Brain | Axial view
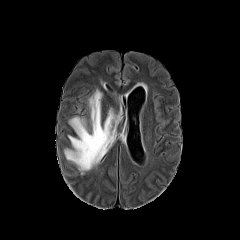
FLAIR MR.
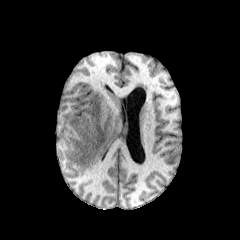
T1-weighted magnetic resonance.
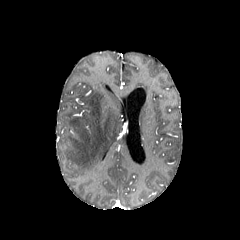
Post-contrast T1-weighted MR image.
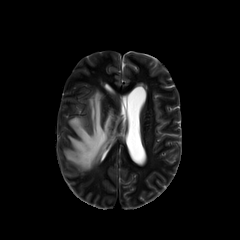
T2-weighted magnetic resonance of the same slice.
{"peritumoral_edema": ["[x1=64, y1=89, x2=122, y2=174]"]}